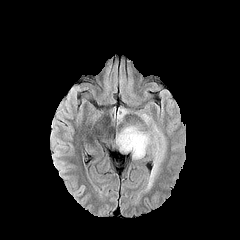
FLAIR MRI.
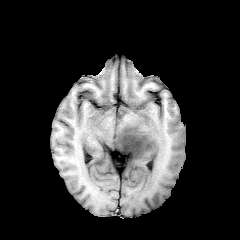
T1-weighted MR image.
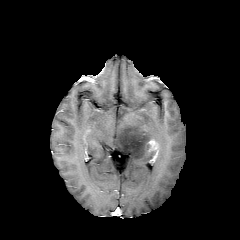
Post-contrast T1-weighted MRI.
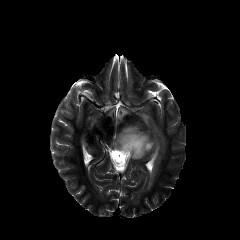
T2-weighted MRI.
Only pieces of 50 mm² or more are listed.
The 3 largest peritumoral edema regions are bounded by [x1=141, y1=113, x2=151, y2=125], [x1=115, y1=122, x2=165, y2=180], [x1=117, y1=108, x2=127, y2=120]. The enhancing tumor lies within [x1=147, y1=139, x2=158, y2=151].